FLAIR MRI.
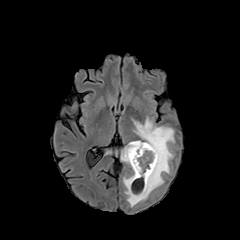
T1-weighted MRI.
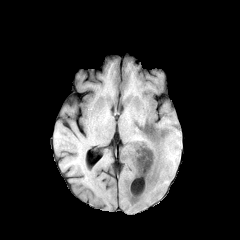
Post-contrast T1-weighted MR.
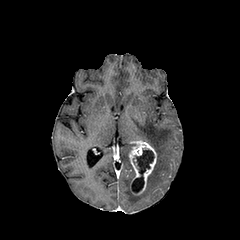
T2-weighted MR image.
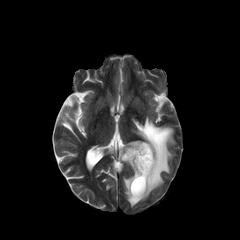
Head
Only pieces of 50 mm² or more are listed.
The enhancing tumor appears at <bbox>129, 140, 156, 194</bbox>. 2 peritumoral edema regions are bounded by <bbox>123, 117, 174, 206</bbox>, <bbox>121, 142, 132, 166</bbox>. The largest necrotic tumor core region appears at <bbox>131, 149, 154, 193</bbox>.